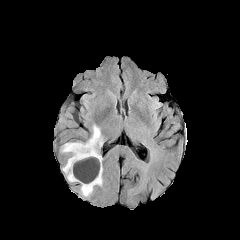
FLAIR magnetic resonance.
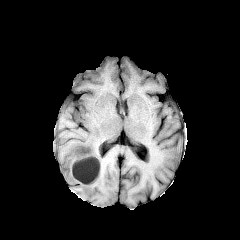
T1-weighted MRI of the same slice.
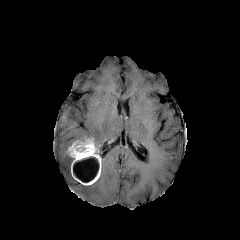
Post-contrast T1-weighted MRI.
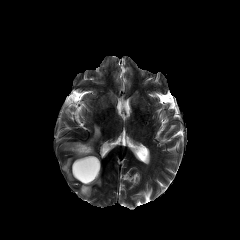
T2-weighted MR.
240x240 px
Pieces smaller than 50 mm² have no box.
Findings:
• enhancing tumor: (x1=68, y1=139, x2=101, y2=185)
• necrotic tumor core: (x1=73, y1=157, x2=99, y2=182)
• peritumoral edema: (x1=80, y1=168, x2=102, y2=196), (x1=62, y1=157, x2=77, y2=181), (x1=90, y1=125, x2=102, y2=146), (x1=62, y1=142, x2=73, y2=152)